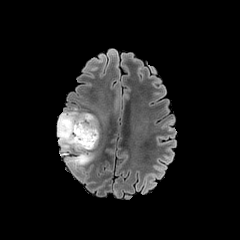
FLAIR MRI.
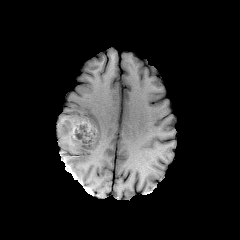
T1-weighted MR image of the same slice.
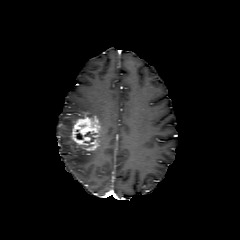
Post-contrast T1-weighted MR image of the same slice.
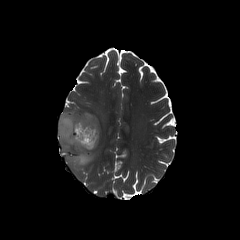
T2-weighted magnetic resonance.
Brain. 240x240 px.
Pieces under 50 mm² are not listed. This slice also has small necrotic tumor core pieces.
The enhancing tumor is located at region(70, 113, 100, 150). The largest peritumoral edema region is at region(57, 107, 94, 168).